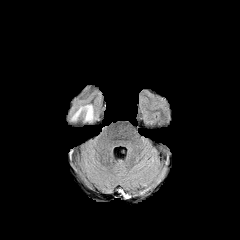
FLAIR MR.
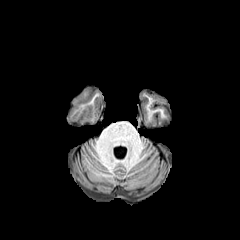
Same slice, T1-weighted magnetic resonance.
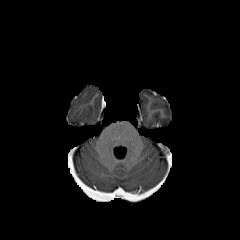
Post-contrast T1-weighted MR.
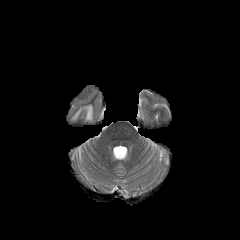
Same slice, T2-weighted MR image.
Axial plane
Segmented structures:
- peritumoral edema: [x1=72, y1=105, x2=93, y2=120]